FLAIR magnetic resonance.
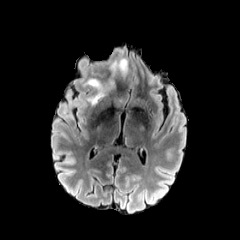
T1-weighted MR image.
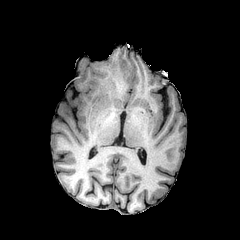
Post-contrast T1-weighted magnetic resonance.
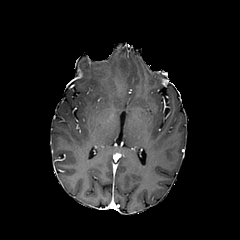
T2-weighted MR image.
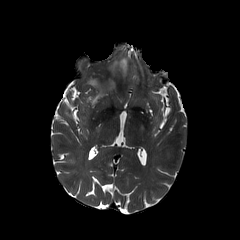
Brain
peritumoral edema: 86,58,127,106